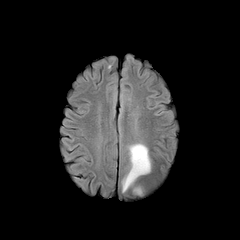
FLAIR MR image.
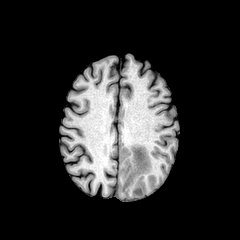
T1-weighted MRI of the same slice.
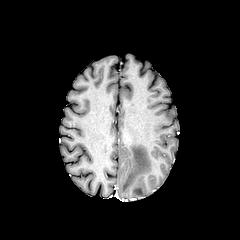
Post-contrast T1-weighted MR.
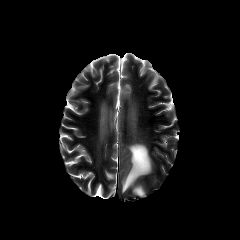
T2-weighted MR.
Head; Image size 240x240
peritumoral edema — left=122, top=143, right=151, bottom=192; left=133, top=187, right=142, bottom=195